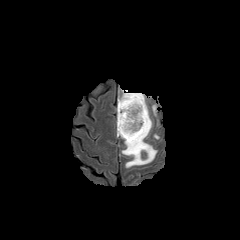
FLAIR MR image.
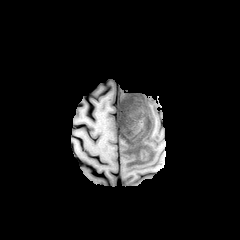
Same slice, T1-weighted MRI.
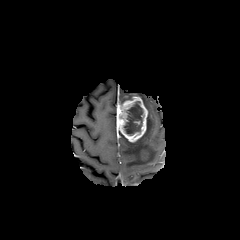
Post-contrast T1-weighted MRI.
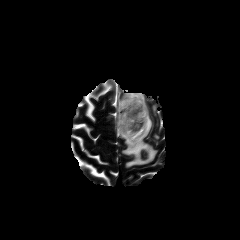
T2-weighted MR of the same slice.
Head.
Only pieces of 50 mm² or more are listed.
- peritumoral edema: box(116, 90, 157, 167)
- enhancing tumor: box(140, 149, 148, 161); box(116, 94, 147, 142)
- necrotic tumor core: box(124, 104, 142, 134)